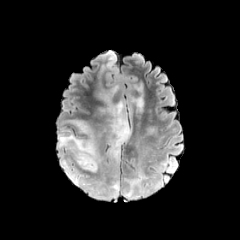
FLAIR MR image.
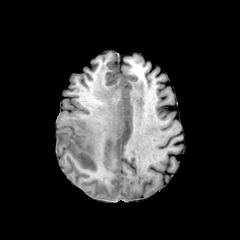
T1-weighted magnetic resonance of the same slice.
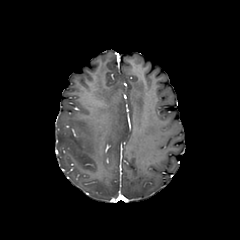
Post-contrast T1-weighted magnetic resonance.
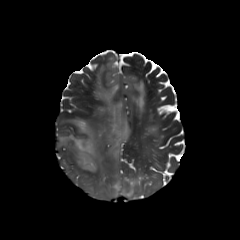
T2-weighted MRI.
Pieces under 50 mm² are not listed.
peritumoral_edema:
  - (69, 173, 82, 183)
  - (99, 85, 129, 167)
  - (58, 119, 106, 172)
  - (90, 171, 150, 199)
  - (131, 83, 143, 111)